Axial plane. Head. Slice index 122.
FLAIR magnetic resonance.
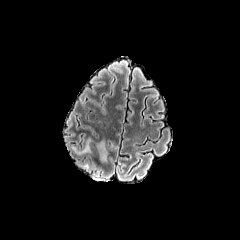
T1-weighted MR.
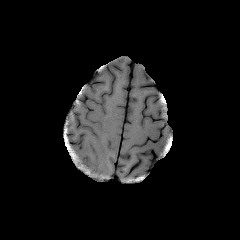
Post-contrast T1-weighted MR image.
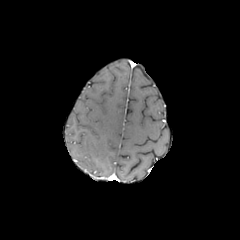
T2-weighted MRI.
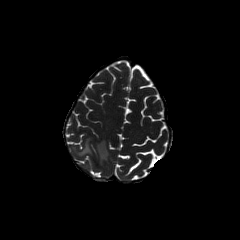
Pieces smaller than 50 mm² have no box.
The 2 largest peritumoral edema regions appear at (82,139,91,152), (96,140,107,161).